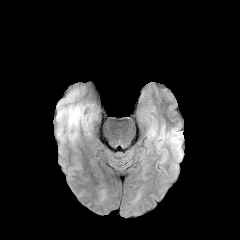
FLAIR magnetic resonance.
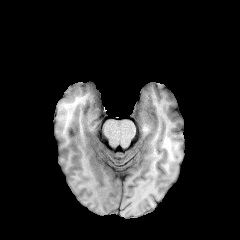
T1-weighted MR image.
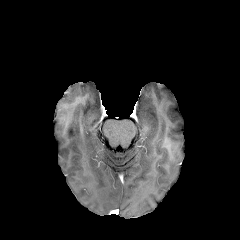
Post-contrast T1-weighted MR image.
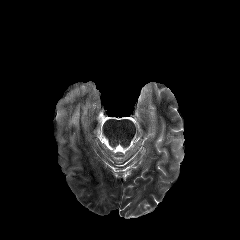
T2-weighted MRI.
Brain
peritumoral edema: bounding box 69:106:80:123